FLAIR magnetic resonance.
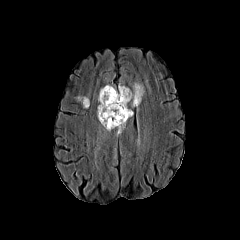
T1-weighted magnetic resonance.
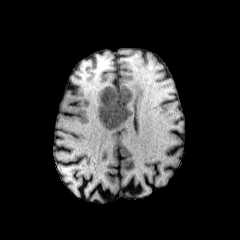
Post-contrast T1-weighted magnetic resonance.
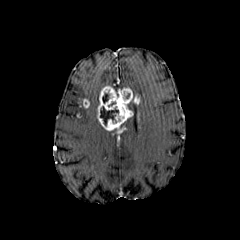
T2-weighted MRI.
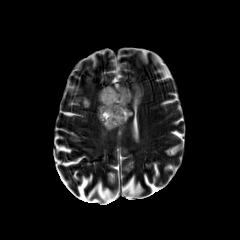
Brain
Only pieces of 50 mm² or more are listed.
The 2 largest necrotic tumor core regions are located at box=[100, 106, 118, 125]; box=[102, 93, 108, 103]. The largest peritumoral edema region lies within box=[133, 83, 144, 97]. The 2 largest enhancing tumor regions appear at box=[97, 85, 140, 130]; box=[83, 99, 89, 108].